Head; Axial slice; 240x240 px
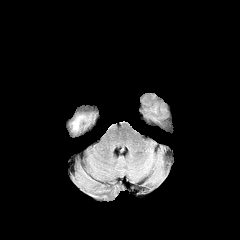
FLAIR MR image.
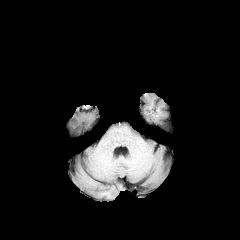
Same slice, T1-weighted MR.
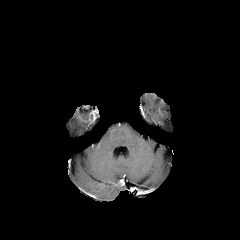
Post-contrast T1-weighted magnetic resonance of the same slice.
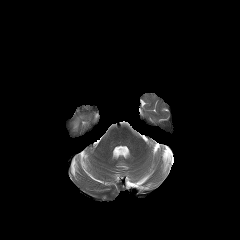
Same slice, T2-weighted MR.
<segmentation>
  <peritumoral_edema>x1=73 y1=116 x2=83 y2=130</peritumoral_edema>
</segmentation>